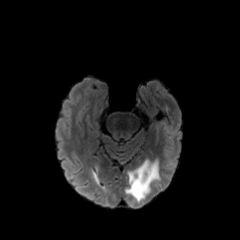
FLAIR MR image.
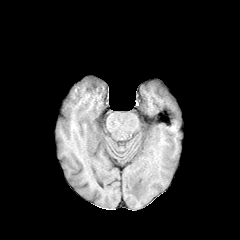
T1-weighted MR image.
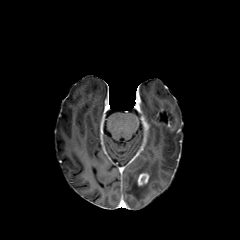
Same slice, post-contrast T1-weighted MR.
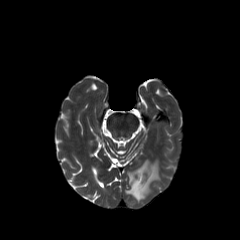
Same slice, T2-weighted MR.
enhancing tumor = [137,173,149,185]
peritumoral edema = [125,160,159,202]